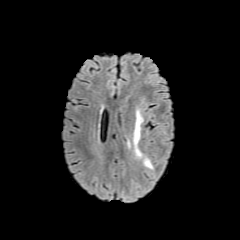
FLAIR MR.
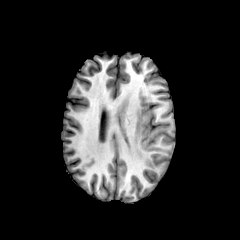
T1-weighted magnetic resonance.
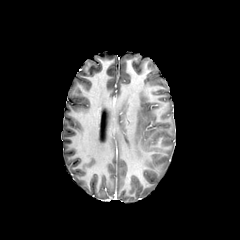
Post-contrast T1-weighted MRI.
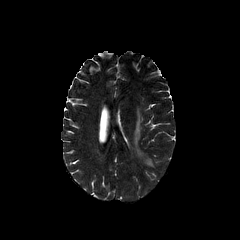
T2-weighted MRI.
Head.
peritumoral_edema:
  - [133, 108, 152, 168]